Axial slice. Head.
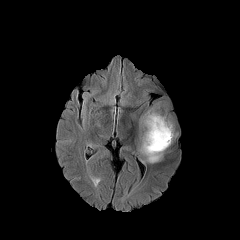
FLAIR MR image.
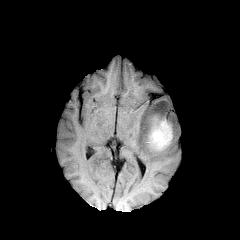
Same slice, T1-weighted magnetic resonance.
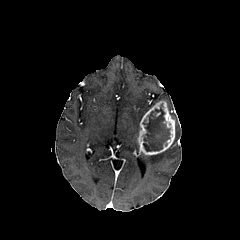
Post-contrast T1-weighted MRI of the same slice.
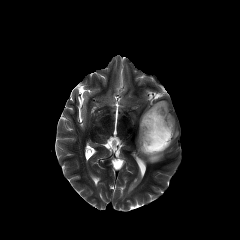
T2-weighted MRI.
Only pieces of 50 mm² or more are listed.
The largest enhancing tumor region lies within <box>137,100,175,155</box>. The largest peritumoral edema region appears at <box>141,152,163,162</box>. The necrotic tumor core is at <box>143,105,170,151</box>.